Axial slice, Slice 57/155
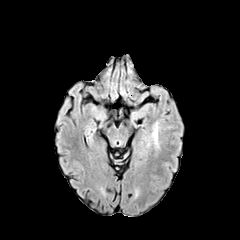
FLAIR magnetic resonance.
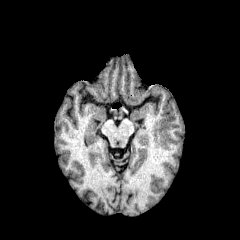
T1-weighted MR image.
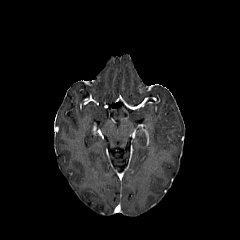
Post-contrast T1-weighted MRI of the same slice.
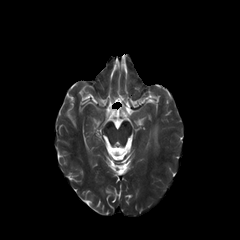
T2-weighted MRI of the same slice.
{"peritumoral_edema": ["left=152, top=122, right=158, bottom=146"]}